Slice 85/155
FLAIR magnetic resonance.
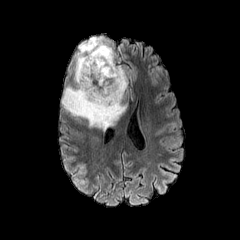
T1-weighted magnetic resonance.
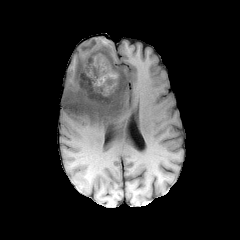
Post-contrast T1-weighted MRI.
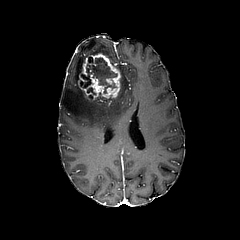
T2-weighted MR.
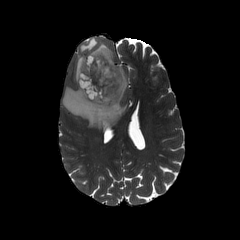
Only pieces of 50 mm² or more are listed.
peritumoral_edema:
  - [x1=61, y1=37, x2=127, y2=130]
necrotic_tumor_core:
  - [x1=80, y1=57, x2=117, y2=93]
enhancing_tumor:
  - [x1=78, y1=53, x2=120, y2=102]